240x240 px, Brain, Slice 38 of 155
FLAIR MR image.
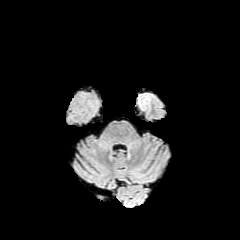
T1-weighted MR image.
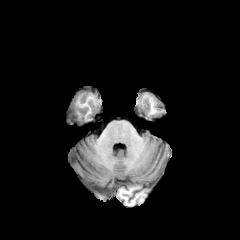
Post-contrast T1-weighted MR.
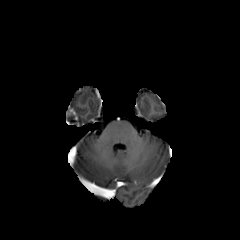
T2-weighted MR image.
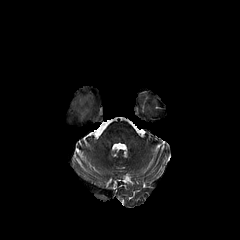
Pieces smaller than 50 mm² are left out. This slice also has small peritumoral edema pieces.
enhancing tumor: region(67, 108, 77, 119)